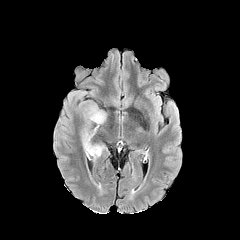
FLAIR MR.
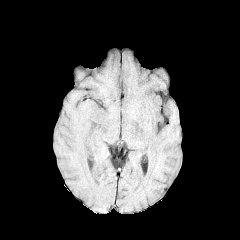
Same slice, T1-weighted MR image.
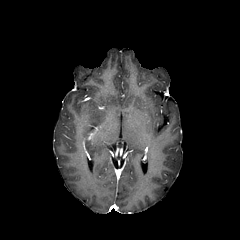
Post-contrast T1-weighted MRI.
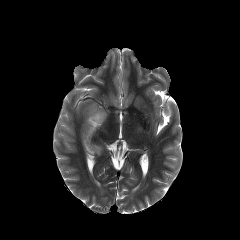
T2-weighted MRI.
Head
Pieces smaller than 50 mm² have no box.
peritumoral edema: x1=81 y1=103 x2=106 y2=160